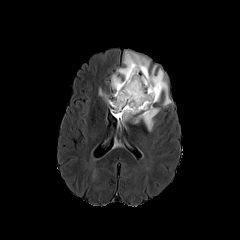
FLAIR MR image.
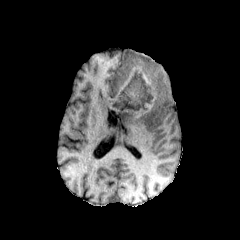
Same slice, T1-weighted MR image.
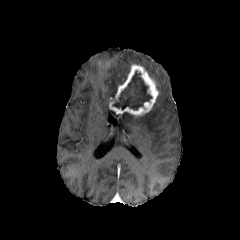
Post-contrast T1-weighted MRI.
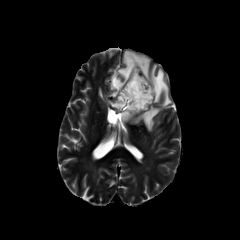
Same slice, T2-weighted MR image.
Axial plane | Head | 240x240
Segmented structures:
* necrotic tumor core: 113 71 151 109
* enhancing tumor: 109 64 159 115
* peritumoral edema: 99 91 110 104, 110 50 172 107, 122 106 160 131